Head | 240x240 px | Slice 54/155
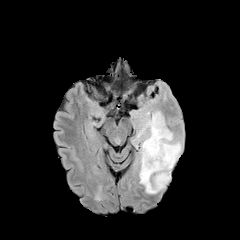
FLAIR MR.
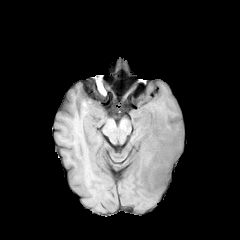
T1-weighted MRI of the same slice.
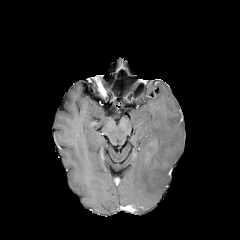
Same slice, post-contrast T1-weighted MR image.
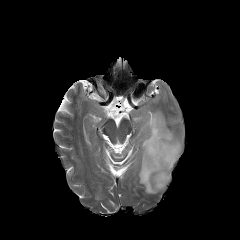
T2-weighted MR.
peritumoral edema: (133, 111, 182, 193)